FLAIR magnetic resonance.
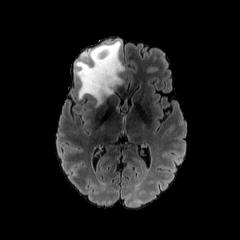
T1-weighted MRI.
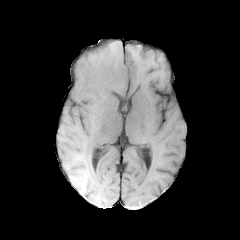
Post-contrast T1-weighted MR.
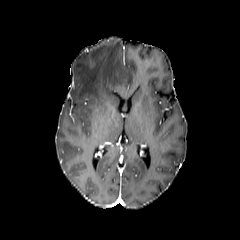
T2-weighted MR.
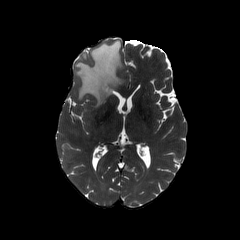
Head; Image size 240x240; Axial view
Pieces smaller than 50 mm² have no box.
The largest peritumoral edema region appears at (75,40,124,106).